FLAIR MR image.
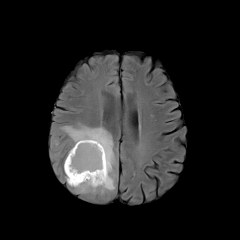
T1-weighted MR image.
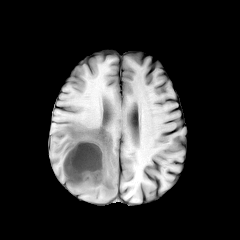
Post-contrast T1-weighted MR.
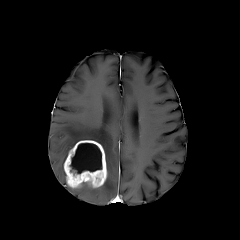
T2-weighted magnetic resonance.
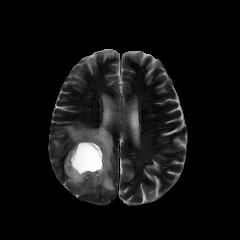
Axial slice
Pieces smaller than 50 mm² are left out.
The largest peritumoral edema region is located at [61,124,116,194]. The necrotic tumor core is located at [70,143,101,173]. The enhancing tumor appears at [64,140,107,188].